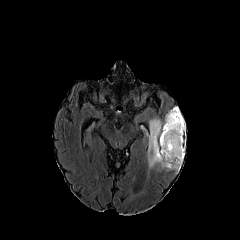
FLAIR MRI.
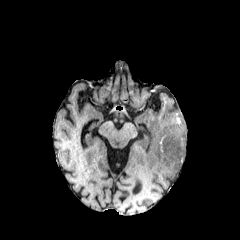
T1-weighted MR.
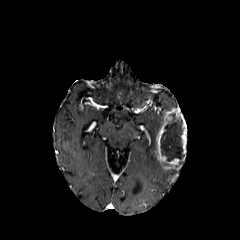
Post-contrast T1-weighted MR.
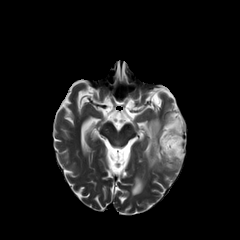
T2-weighted MRI.
Head | Axial plane
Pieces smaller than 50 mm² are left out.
Segmented structures:
* necrotic tumor core: 161, 113, 184, 161
* enhancing tumor: 155, 107, 186, 170
* peritumoral edema: 147, 117, 163, 170